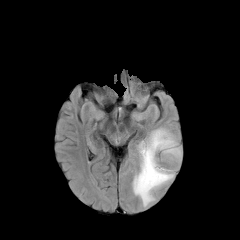
FLAIR magnetic resonance.
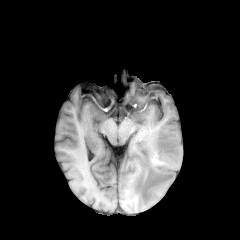
T1-weighted MR image.
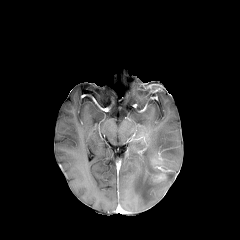
Post-contrast T1-weighted MR of the same slice.
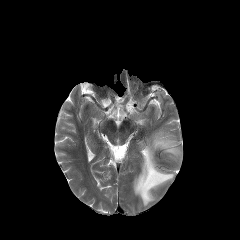
T2-weighted magnetic resonance of the same slice.
Head.
<segmentation>
  <enhancing_tumor>[x1=151, y1=172, x2=167, y2=183]</enhancing_tumor>
  <peritumoral_edema>[x1=133, y1=129, x2=182, y2=207]</peritumoral_edema>
</segmentation>